Image width 240 mm, 1.00 mm slice spacing
FLAIR MR.
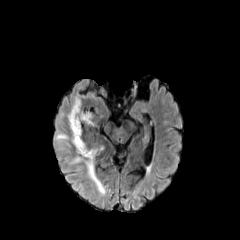
T1-weighted MR.
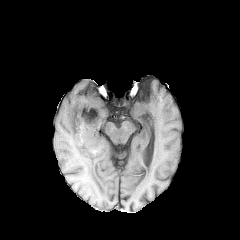
Post-contrast T1-weighted MR image.
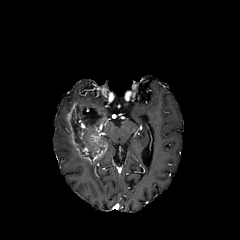
T2-weighted MR.
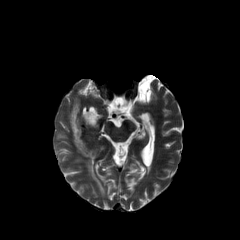
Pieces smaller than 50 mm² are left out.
• peritumoral edema: [56, 133, 68, 141], [70, 154, 105, 194]
• necrotic tumor core: [71, 106, 97, 148]
• enhancing tumor: [65, 97, 108, 164]